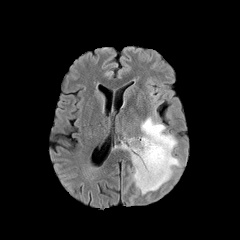
FLAIR MR image.
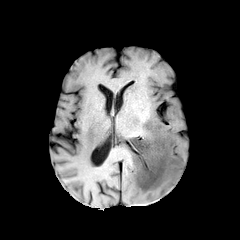
T1-weighted MRI.
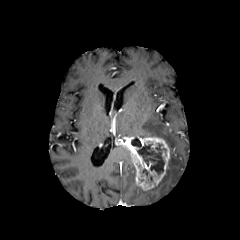
Post-contrast T1-weighted MRI of the same slice.
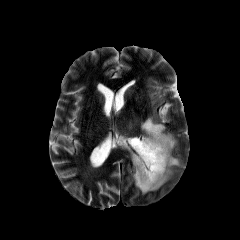
Same slice, T2-weighted magnetic resonance.
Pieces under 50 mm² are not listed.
enhancing tumor = (left=120, top=136, right=169, bottom=190)
peritumoral edema = (left=136, top=117, right=180, bottom=194)
necrotic tumor core = (left=137, top=144, right=164, bottom=174), (left=131, top=137, right=141, bottom=147)